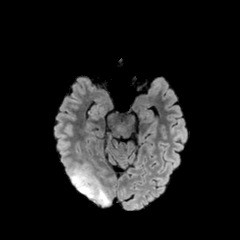
FLAIR MRI.
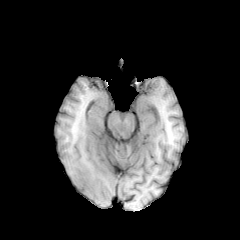
Same slice, T1-weighted MRI.
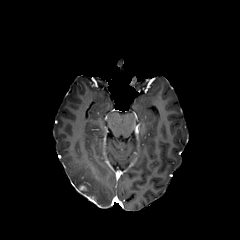
Post-contrast T1-weighted MRI.
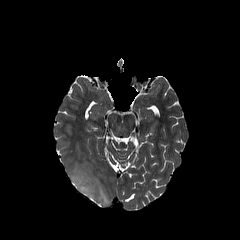
T2-weighted MR image.
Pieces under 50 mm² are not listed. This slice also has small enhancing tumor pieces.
peritumoral edema = region(68, 164, 109, 205)